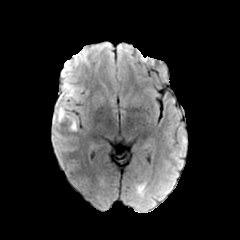
FLAIR MR image.
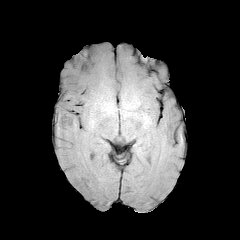
T1-weighted MR.
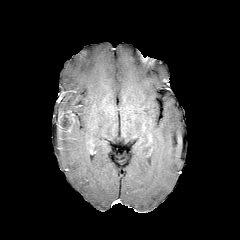
Post-contrast T1-weighted magnetic resonance.
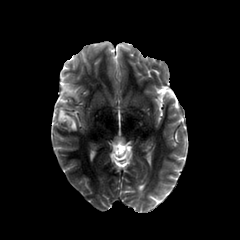
T2-weighted MRI.
Brain
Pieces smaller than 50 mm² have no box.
- peritumoral edema: <bbox>71, 116, 77, 131</bbox>, <bbox>54, 107, 68, 127</bbox>
- enhancing tumor: <bbox>57, 111, 74, 131</bbox>
- necrotic tumor core: <bbox>60, 111, 70, 130</bbox>